Slice 102 of 155. 240x240 px. Axial plane.
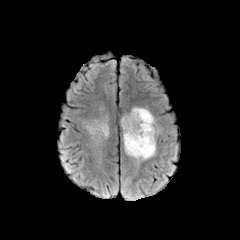
FLAIR magnetic resonance.
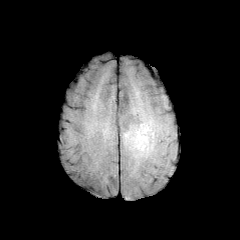
Same slice, T1-weighted magnetic resonance.
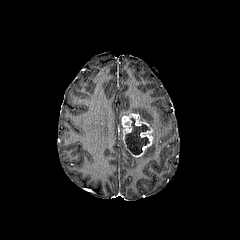
Post-contrast T1-weighted MRI of the same slice.
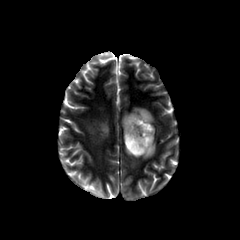
T2-weighted MRI of the same slice.
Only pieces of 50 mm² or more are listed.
necrotic tumor core: bounding box <bbox>125, 118, 149, 154</bbox>
peritumoral edema: bounding box <bbox>131, 107, 155, 159</bbox>, <bbox>99, 123, 108, 136</bbox>
enhancing tumor: bounding box <bbox>121, 113, 153, 157</bbox>